FLAIR MR image.
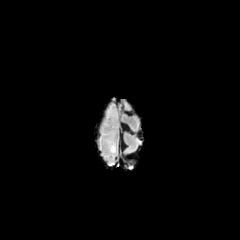
T1-weighted magnetic resonance.
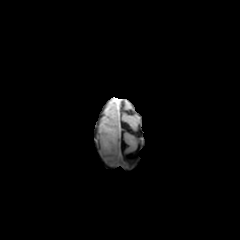
Post-contrast T1-weighted MR image.
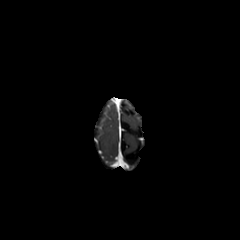
T2-weighted MR image.
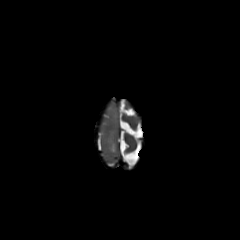
Image size 240x240; Axial view
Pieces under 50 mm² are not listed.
The largest peritumoral edema region is at <box>108,132,116,152</box>.